Image width 240 mm, Brain
FLAIR magnetic resonance.
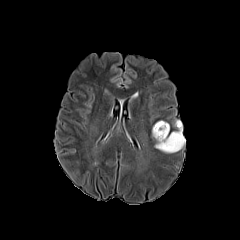
T1-weighted MR.
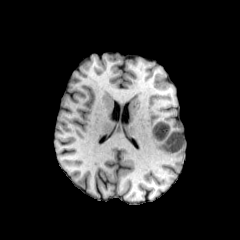
Post-contrast T1-weighted MRI.
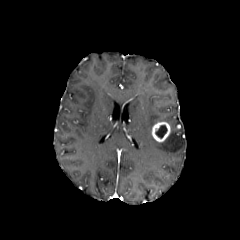
T2-weighted MR.
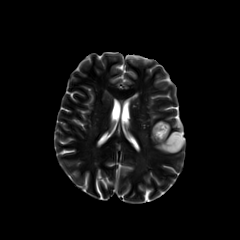
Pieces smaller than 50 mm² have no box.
The largest peritumoral edema region is located at [x1=155, y1=120, x2=185, y2=153]. The necrotic tumor core is bounded by [x1=155, y1=125, x2=167, y2=138]. The largest enhancing tumor region lies within [x1=152, y1=121, x2=170, y2=142].